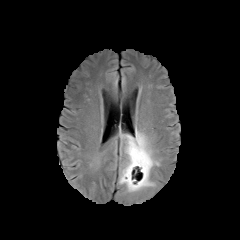
FLAIR MRI.
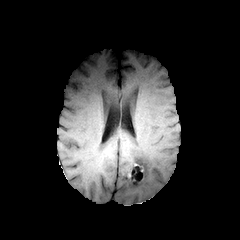
T1-weighted MR image of the same slice.
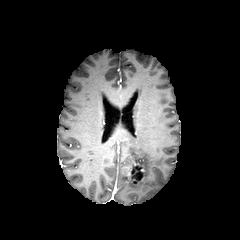
Post-contrast T1-weighted MR of the same slice.
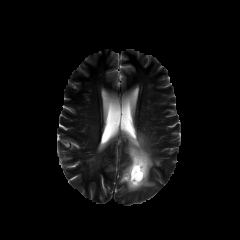
Same slice, T2-weighted MRI.
Head | Axial plane
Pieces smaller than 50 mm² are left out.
Segmented structures:
• enhancing tumor: x1=128, y1=167, x2=140, y2=185
• peritumoral edema: x1=119, y1=131, x2=159, y2=192
• necrotic tumor core: x1=132, y1=165, x2=143, y2=180